FLAIR MR image.
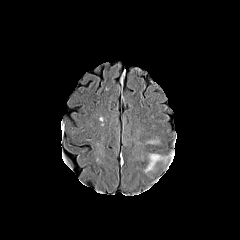
T1-weighted magnetic resonance.
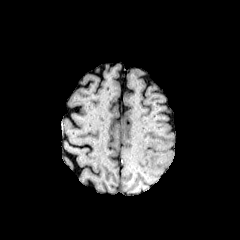
Post-contrast T1-weighted MR.
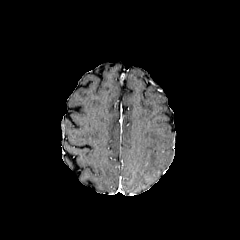
T2-weighted MRI.
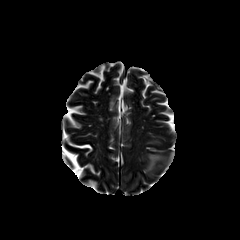
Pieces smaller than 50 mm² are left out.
peritumoral edema at box(145, 154, 163, 172)